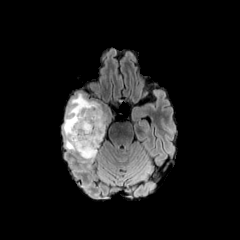
FLAIR MR image.
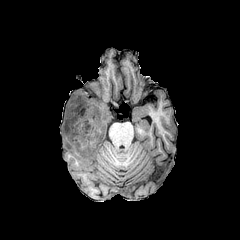
T1-weighted MR image.
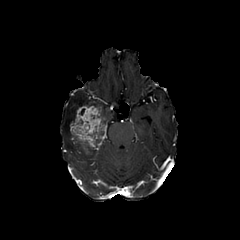
Post-contrast T1-weighted magnetic resonance of the same slice.
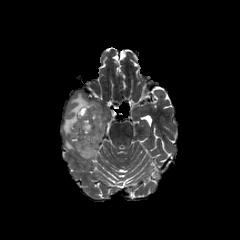
T2-weighted MRI.
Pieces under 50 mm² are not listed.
necrotic tumor core: bounding box 90 114 105 124, 73 134 84 156
peritumoral edema: bounding box 62 92 101 163
enhancing tumor: bounding box 69 105 107 160